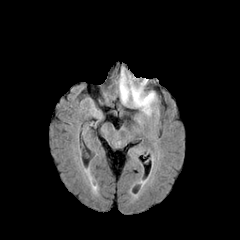
FLAIR MR image.
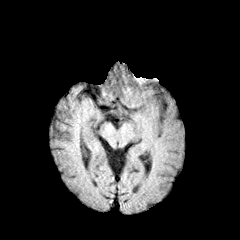
T1-weighted MR.
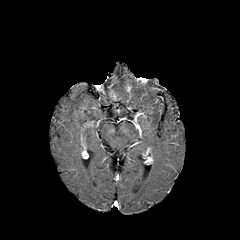
Post-contrast T1-weighted MR.
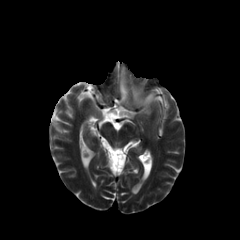
T2-weighted MR.
240x240; Axial slice
peritumoral edema at left=120, top=70, right=155, bottom=114